Brain
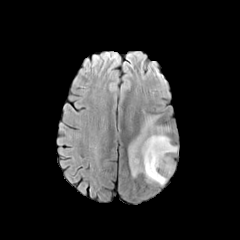
FLAIR MR image.
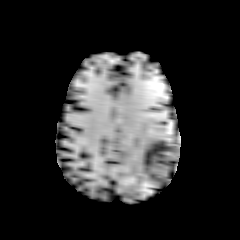
Same slice, T1-weighted MR.
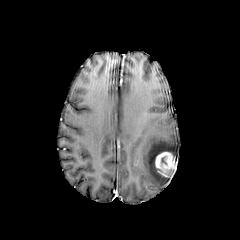
Post-contrast T1-weighted MR of the same slice.
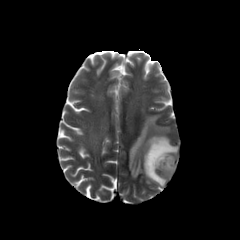
T2-weighted magnetic resonance.
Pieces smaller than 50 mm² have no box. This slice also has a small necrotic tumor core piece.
The largest peritumoral edema region is bounded by 129:115:177:186. The enhancing tumor is at 155:152:175:176.